Slice index 72, Head, Axial plane
FLAIR MRI.
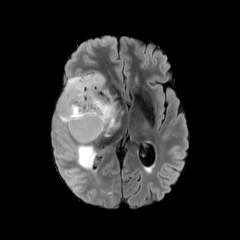
T1-weighted MRI.
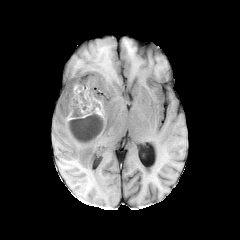
Post-contrast T1-weighted MRI.
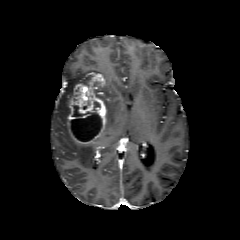
T2-weighted MR image.
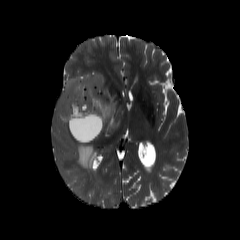
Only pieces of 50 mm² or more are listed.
peritumoral edema: bounding box 75 143 94 168, 57 74 93 128, 94 87 120 137
necrotic tumor core: bounding box 70 105 102 141
enhancing tumor: bounding box 67 73 107 144